FLAIR MR.
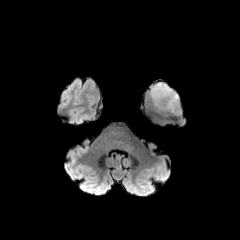
T1-weighted magnetic resonance.
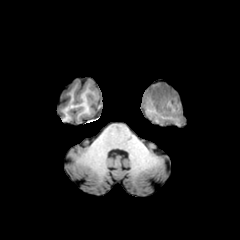
Post-contrast T1-weighted magnetic resonance.
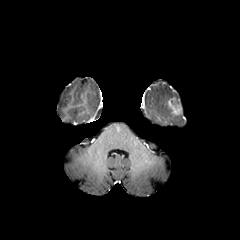
T2-weighted MRI.
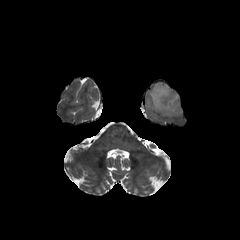
Axial slice, Brain
{"enhancing_tumor": ["<bbox>167, 97, 181, 115</bbox>"], "peritumoral_edema": ["<bbox>149, 82, 178, 113</bbox>"]}